Head
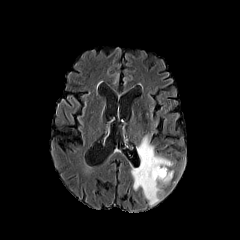
FLAIR MR image.
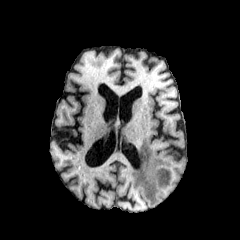
Same slice, T1-weighted MRI.
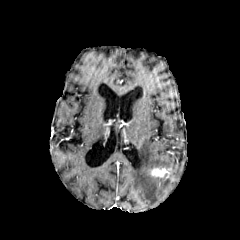
Post-contrast T1-weighted magnetic resonance.
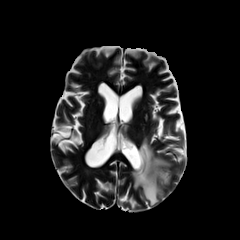
T2-weighted magnetic resonance of the same slice.
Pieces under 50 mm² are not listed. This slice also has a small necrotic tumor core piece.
{
  "peritumoral_edema": [
    "region(131, 136, 172, 205)"
  ],
  "enhancing_tumor": [
    "region(150, 168, 169, 177)"
  ]
}